Axial slice | Head
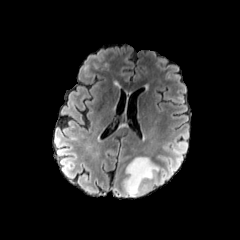
FLAIR MRI.
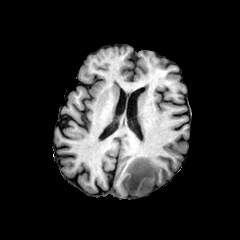
T1-weighted magnetic resonance.
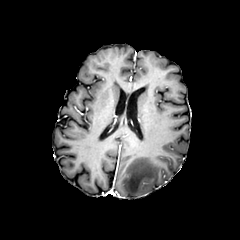
Post-contrast T1-weighted magnetic resonance.
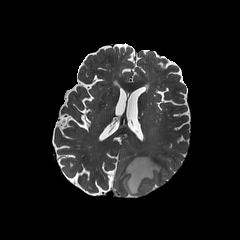
T2-weighted MR of the same slice.
peritumoral edema: left=123, top=157, right=159, bottom=196